Axial plane
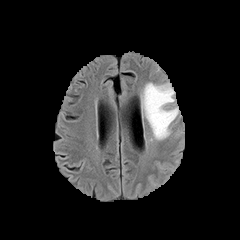
FLAIR MRI.
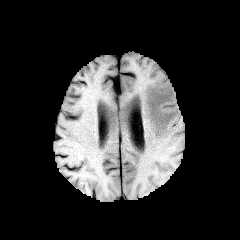
T1-weighted MRI of the same slice.
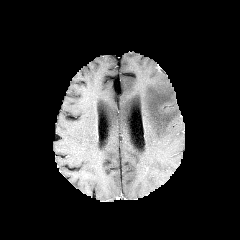
Post-contrast T1-weighted MR of the same slice.
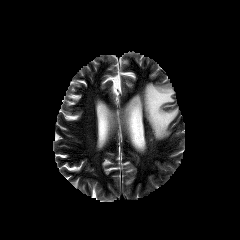
T2-weighted MR image.
peritumoral edema = 141 82 178 139